Head, Image width 240 mm, 1.00 mm slice spacing
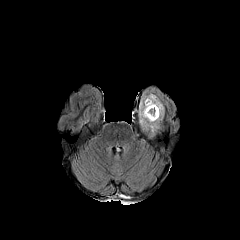
FLAIR MR.
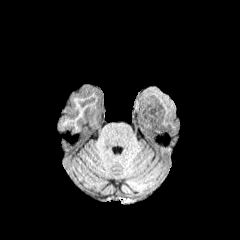
T1-weighted MR of the same slice.
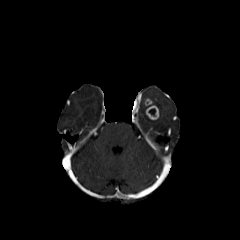
Same slice, post-contrast T1-weighted MR.
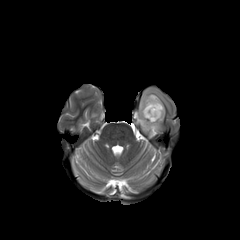
Same slice, T2-weighted MR image.
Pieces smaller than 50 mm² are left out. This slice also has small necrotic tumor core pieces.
The enhancing tumor lies within bbox=[144, 98, 159, 120]. The peritumoral edema is located at bbox=[138, 89, 164, 135].